Slice index 50. Axial view.
FLAIR magnetic resonance.
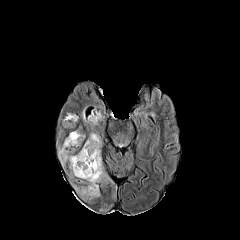
T1-weighted MRI.
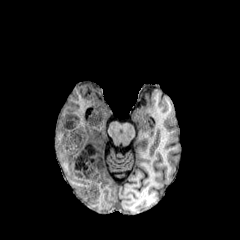
Post-contrast T1-weighted MR.
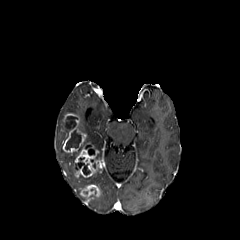
T2-weighted magnetic resonance.
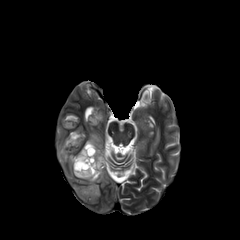
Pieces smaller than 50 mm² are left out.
Annotated regions:
* enhancing tumor: box=[74, 146, 103, 177]; box=[80, 185, 100, 200]; box=[62, 126, 85, 153]
* necrotic tumor core: box=[85, 144, 94, 155]; box=[75, 162, 90, 175]; box=[65, 129, 81, 149]; box=[63, 116, 77, 129]
* peritumoral edema: box=[86, 132, 101, 153]; box=[83, 111, 103, 129]; box=[58, 146, 77, 175]; box=[79, 170, 108, 184]